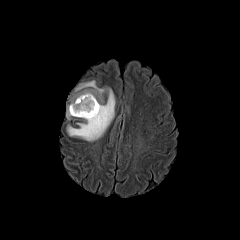
FLAIR MR.
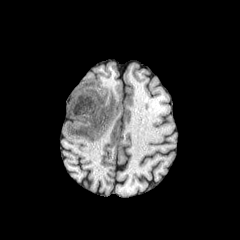
T1-weighted MRI.
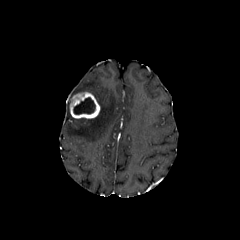
Same slice, post-contrast T1-weighted MR image.
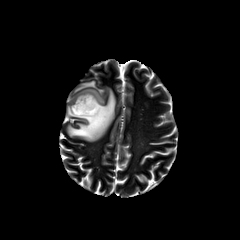
T2-weighted MR image of the same slice.
Head; 240x240 px; Axial plane
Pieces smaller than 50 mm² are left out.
enhancing_tumor:
  - box(69, 91, 100, 118)
peritumoral_edema:
  - box(66, 80, 115, 141)
necrotic_tumor_core:
  - box(73, 97, 95, 114)